FLAIR MR.
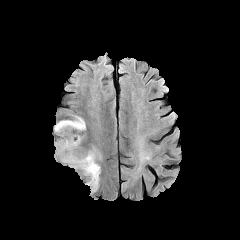
T1-weighted magnetic resonance.
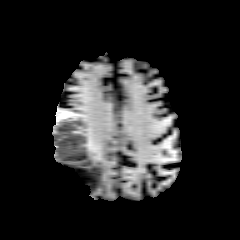
Post-contrast T1-weighted MRI.
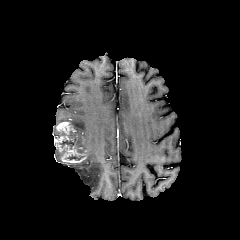
T2-weighted MR.
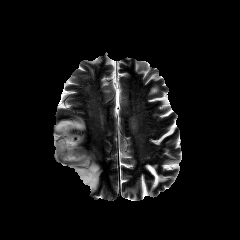
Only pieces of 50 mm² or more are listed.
{"peritumoral_edema": ["box=[54, 115, 85, 134]", "box=[64, 148, 100, 192]"], "enhancing_tumor": ["box=[54, 121, 87, 163]"], "necrotic_tumor_core": ["box=[61, 140, 74, 148]"]}